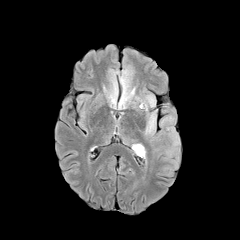
FLAIR MR image.
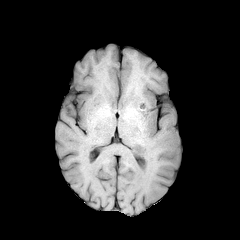
Same slice, T1-weighted MRI.
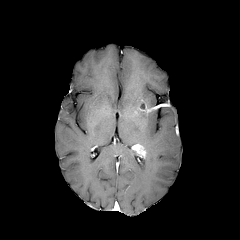
Post-contrast T1-weighted magnetic resonance of the same slice.
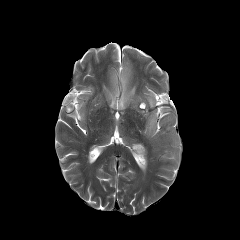
T2-weighted MR image.
Axial plane
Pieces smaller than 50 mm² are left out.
enhancing_tumor:
  - x1=132, y1=144, x2=145, y2=157
peritumoral_edema:
  - x1=120, y1=89, x2=134, y2=108
  - x1=145, y1=112, x2=155, y2=135
  - x1=136, y1=94, x2=155, y2=108